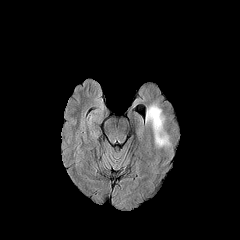
FLAIR MR.
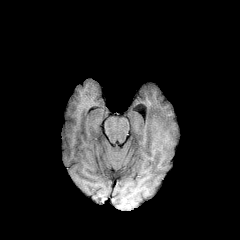
T1-weighted MR image of the same slice.
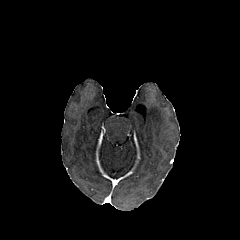
Post-contrast T1-weighted MR image.
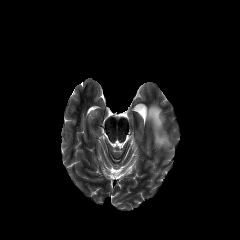
Same slice, T2-weighted MRI.
Axial plane
peritumoral edema: 146 104 170 146